Image width 240 mm, 1.00 mm slice spacing; Head
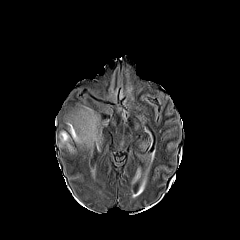
FLAIR magnetic resonance.
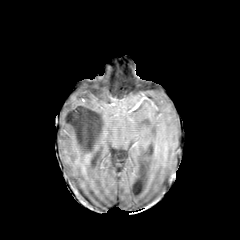
T1-weighted MR of the same slice.
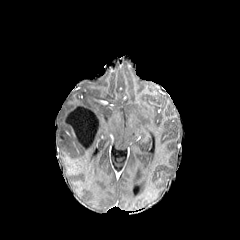
Post-contrast T1-weighted MR image.
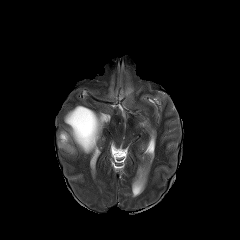
T2-weighted MR image.
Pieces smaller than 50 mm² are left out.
Annotated regions:
• necrotic tumor core: 66, 106, 99, 149
• peritumoral edema: 59, 105, 101, 153